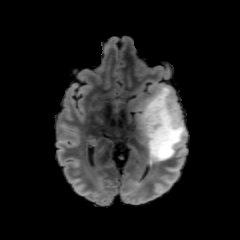
FLAIR MR.
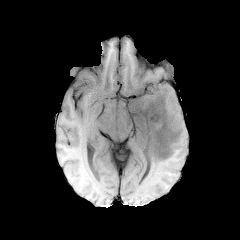
T1-weighted MR of the same slice.
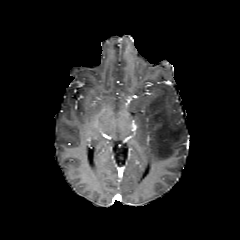
Post-contrast T1-weighted MRI.
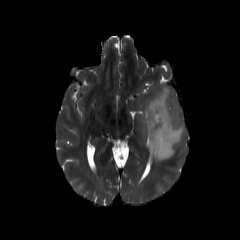
T2-weighted magnetic resonance of the same slice.
Image size 240x240; Brain
<segmentation>
  <peritumoral_edema>137, 85, 186, 162</peritumoral_edema>
</segmentation>